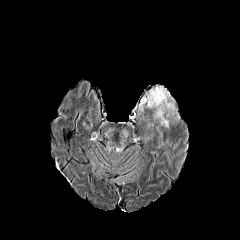
FLAIR magnetic resonance.
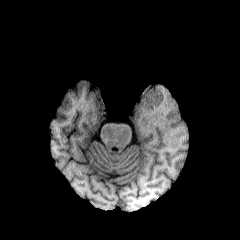
T1-weighted MR image.
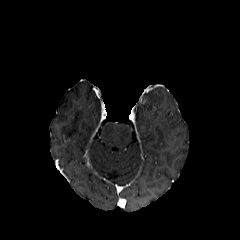
Post-contrast T1-weighted MR image.
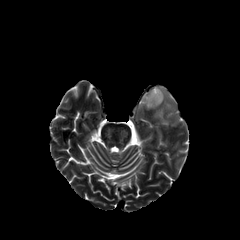
T2-weighted MRI.
240x240 px | Head
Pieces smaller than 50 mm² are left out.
Findings:
• peritumoral edema: bbox(144, 87, 174, 126)